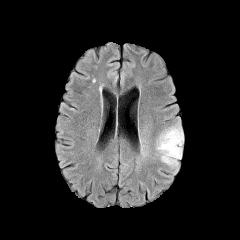
FLAIR magnetic resonance.
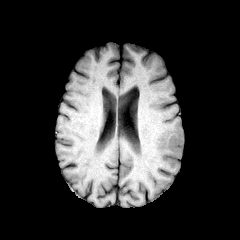
T1-weighted magnetic resonance.
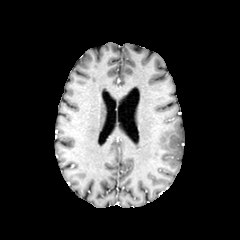
Same slice, post-contrast T1-weighted MRI.
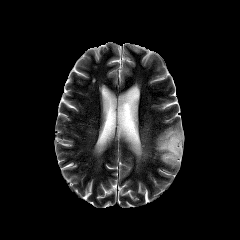
T2-weighted MR image of the same slice.
Axial view; Brain
The peritumoral edema appears at 156 121 183 166.